Brain, Axial view
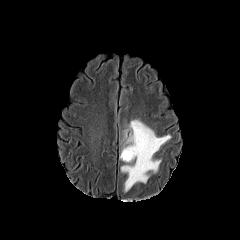
FLAIR MR image.
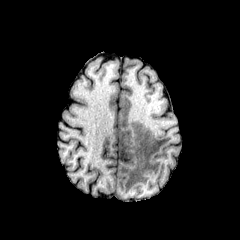
Same slice, T1-weighted MR image.
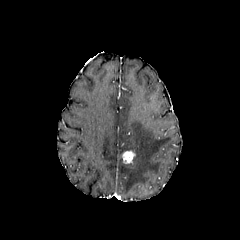
Post-contrast T1-weighted MRI of the same slice.
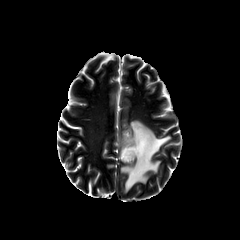
T2-weighted MRI.
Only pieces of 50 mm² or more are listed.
- peritumoral edema: rect(120, 119, 171, 192)
- enhancing tumor: rect(121, 150, 135, 163)